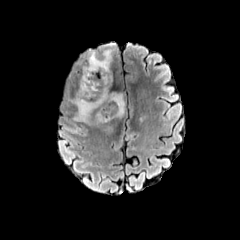
FLAIR MR.
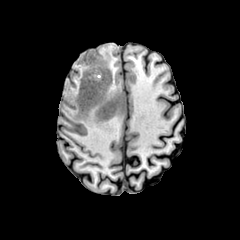
Same slice, T1-weighted MR.
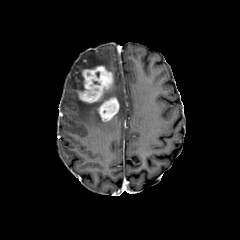
Post-contrast T1-weighted MRI.
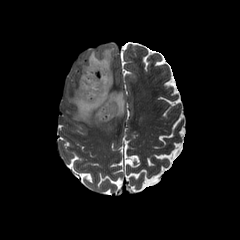
T2-weighted MR image.
Brain | 240x240
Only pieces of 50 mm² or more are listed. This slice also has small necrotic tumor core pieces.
enhancing tumor at [x1=77, y1=66, x2=113, y2=103], [x1=97, y1=97, x2=119, y2=121]
peritumoral edema at [x1=71, y1=91, x2=124, y2=123], [x1=96, y1=111, x2=106, y2=122], [x1=83, y1=49, x2=112, y2=70]